Slice index 59; 240x240
FLAIR MR image.
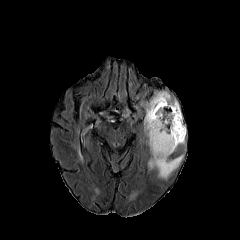
T1-weighted MR image.
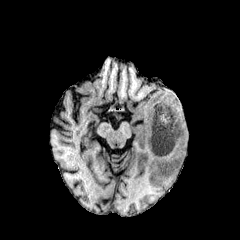
Post-contrast T1-weighted MRI.
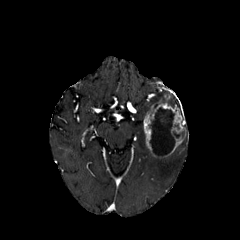
T2-weighted MRI.
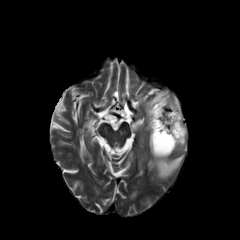
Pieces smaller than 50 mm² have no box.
enhancing_tumor:
  - 143:94:186:158
necrotic_tumor_core:
  - 150:107:175:155
peritumoral_edema:
  - 141:91:168:112
  - 148:154:183:179
  - 168:96:179:107